Slice index 56 | 240x240
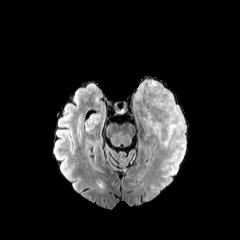
FLAIR MR image.
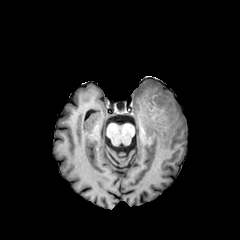
T1-weighted MR image of the same slice.
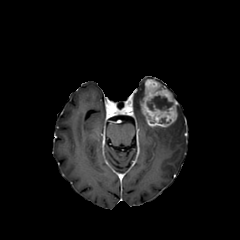
Post-contrast T1-weighted MR image.
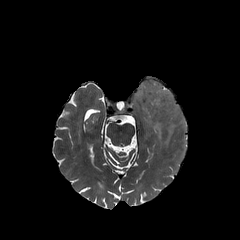
T2-weighted MR.
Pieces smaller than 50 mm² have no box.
{"enhancing_tumor": ["(140, 79, 177, 127)"], "necrotic_tumor_core": ["(147, 96, 173, 110)"], "peritumoral_edema": ["(135, 82, 144, 104)", "(152, 105, 185, 147)"]}